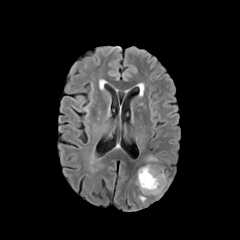
FLAIR MR.
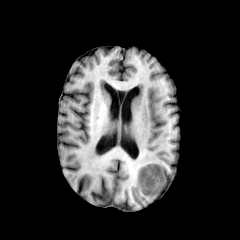
T1-weighted MRI.
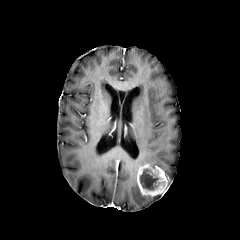
Post-contrast T1-weighted magnetic resonance.
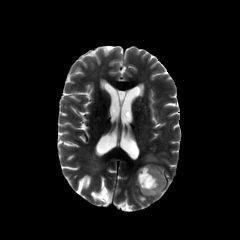
T2-weighted MRI.
Axial view
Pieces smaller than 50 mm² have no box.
Segmented structures:
• enhancing tumor: 137,163,170,196
• necrotic tumor core: 140,169,159,189
• peritumoral edema: 145,154,158,162